Head. Image width 240 mm. Slice 99/155.
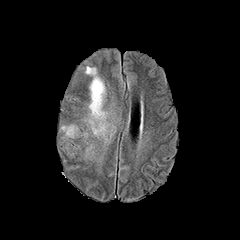
FLAIR MRI.
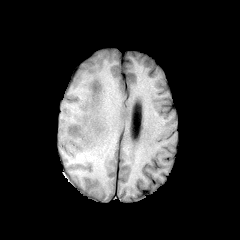
T1-weighted magnetic resonance.
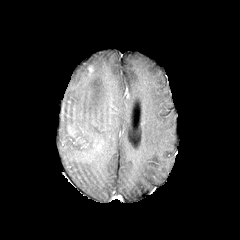
Same slice, post-contrast T1-weighted magnetic resonance.
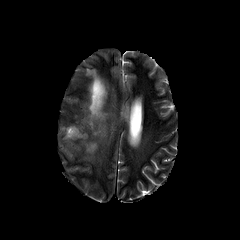
Same slice, T2-weighted magnetic resonance.
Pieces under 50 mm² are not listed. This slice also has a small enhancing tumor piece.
{
  "peritumoral_edema": [
    "(61,125,78,137)",
    "(86,67,106,137)"
  ]
}